FLAIR MRI.
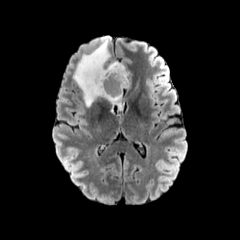
T1-weighted MR image.
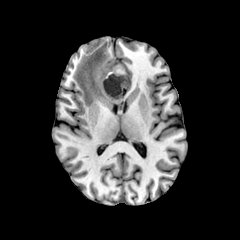
Post-contrast T1-weighted MRI.
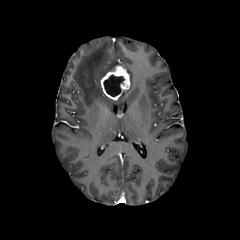
T2-weighted MRI.
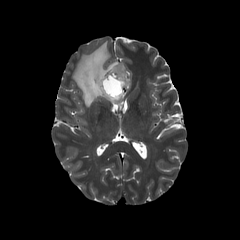
peritumoral_edema:
  - <box>73,37,125,109</box>
necrotic_tumor_core:
  - <box>103,75,124,96</box>
enhancing_tumor:
  - <box>100,65,130,100</box>